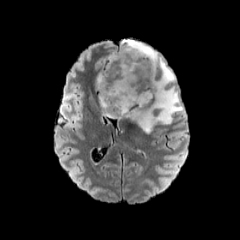
FLAIR MR image.
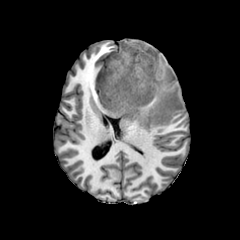
Same slice, T1-weighted MRI.
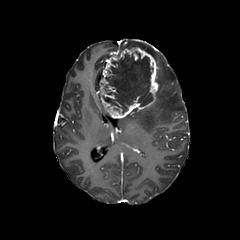
Same slice, post-contrast T1-weighted MR image.
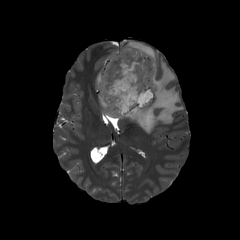
T2-weighted MR image of the same slice.
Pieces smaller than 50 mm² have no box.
peritumoral edema = rect(99, 94, 110, 116); rect(96, 73, 101, 89); rect(122, 40, 183, 133)
enhancing tumor = rect(98, 47, 159, 118)
necrotic tumor core = rect(103, 52, 153, 113)